FLAIR MR image.
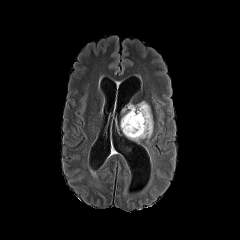
T1-weighted MR.
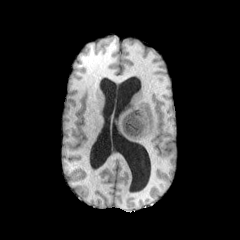
Post-contrast T1-weighted magnetic resonance.
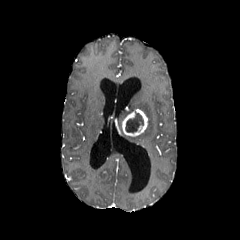
T2-weighted MRI.
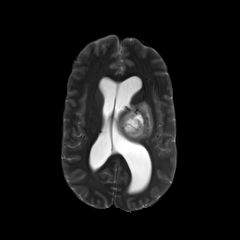
Brain | Axial plane
The necrotic tumor core appears at x1=125 y1=113 x2=144 y2=132. The peritumoral edema is located at x1=121 y1=101 x2=153 y2=142. The enhancing tumor is at x1=122 y1=109 x2=147 y2=136.